Image width 240 mm, 1.00 mm slice spacing
FLAIR MR image.
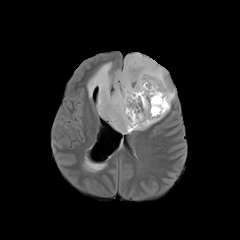
T1-weighted MRI.
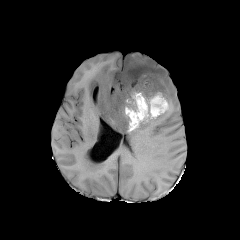
Post-contrast T1-weighted MRI.
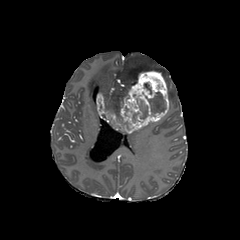
T2-weighted MR image.
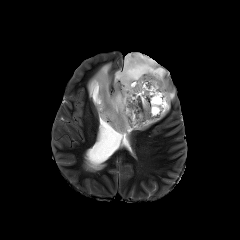
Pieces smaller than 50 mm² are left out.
enhancing tumor: 97 70 169 133
necrotic tumor core: 138 100 147 119, 148 92 165 115
peritumoral edema: 87 52 175 110